FLAIR MR image.
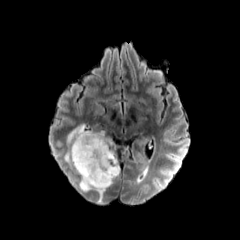
T1-weighted MR.
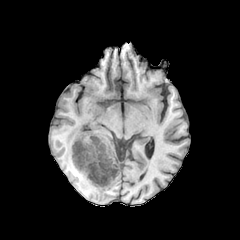
Post-contrast T1-weighted MRI.
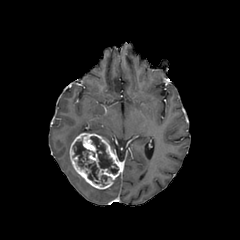
T2-weighted magnetic resonance.
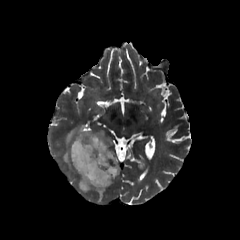
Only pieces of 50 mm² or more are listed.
<segmentation>
  <enhancing_tumor>69 132 120 189</enhancing_tumor>
  <necrotic_tumor_core>90 136 118 174, 73 141 98 180</necrotic_tumor_core>
  <peritumoral_edema>79 177 105 202, 64 124 112 167</peritumoral_edema>
</segmentation>